FLAIR MR.
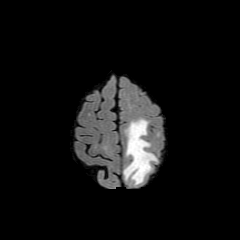
T1-weighted MRI.
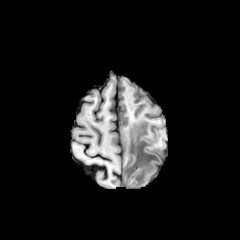
Post-contrast T1-weighted MRI.
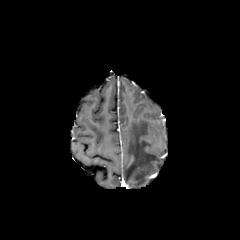
T2-weighted magnetic resonance.
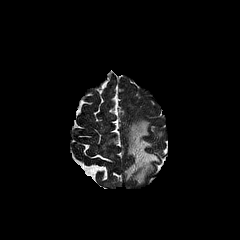
Axial view.
Findings:
• peritumoral edema: box(124, 119, 156, 184)